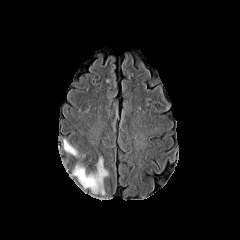
FLAIR MR.
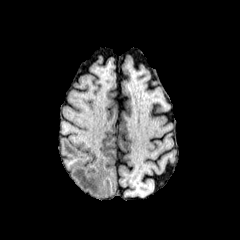
Same slice, T1-weighted MR image.
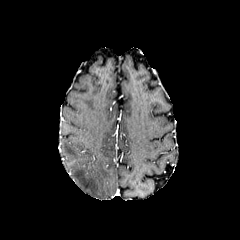
Post-contrast T1-weighted MRI of the same slice.
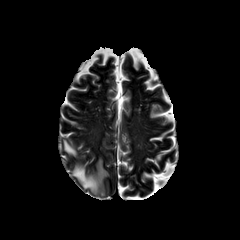
T2-weighted MR image.
240x240; Axial plane
• peritumoral edema: (63,139,77,156), (72,157,109,195)